FLAIR MRI.
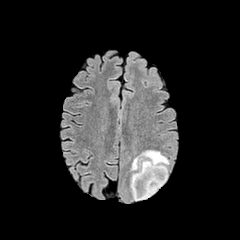
T1-weighted magnetic resonance.
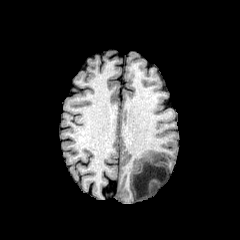
Post-contrast T1-weighted magnetic resonance.
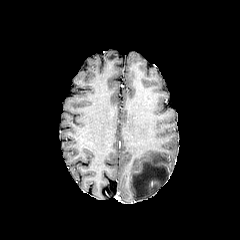
T2-weighted MR.
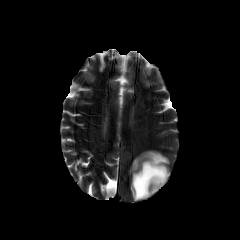
Brain; 240x240 px
peritumoral_edema:
  - {"x1": 131, "y1": 150, "x2": 169, "y2": 200}